FLAIR MR.
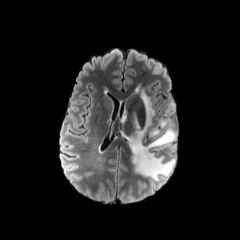
T1-weighted magnetic resonance.
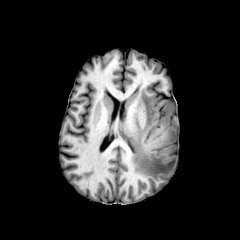
Post-contrast T1-weighted MR.
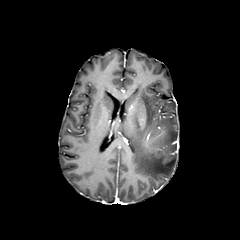
T2-weighted MRI.
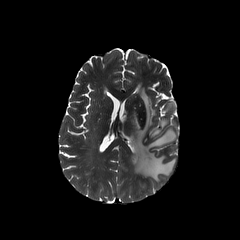
Head | 240x240 | Axial view
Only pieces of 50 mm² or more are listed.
The largest peritumoral edema region is located at (121,92,176,181).